FLAIR MRI.
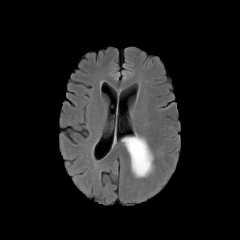
T1-weighted MR.
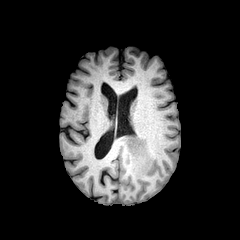
Post-contrast T1-weighted MR image.
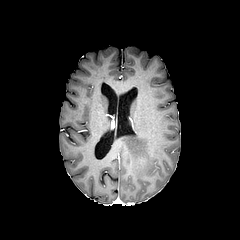
T2-weighted MR.
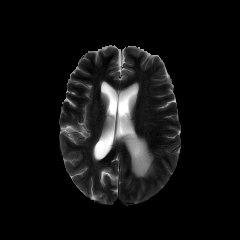
240x240, Axial plane
The peritumoral edema is bounded by l=122, t=135, r=153, b=177.